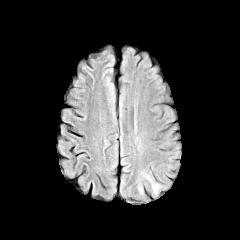
FLAIR MR image.
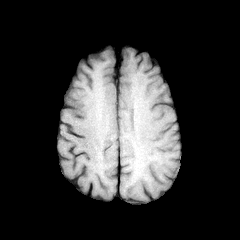
T1-weighted MR image.
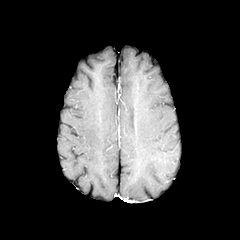
Post-contrast T1-weighted MR image.
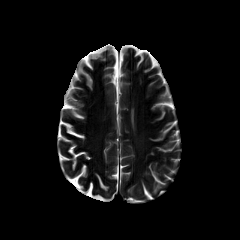
T2-weighted MR image.
Axial plane | Head
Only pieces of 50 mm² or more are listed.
The largest peritumoral edema region appears at 153 184 160 194.